Slice 40/155. Image size 240x240. Head.
FLAIR MR.
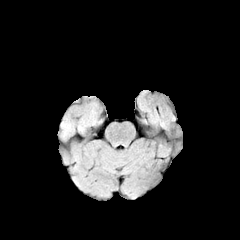
T1-weighted MR.
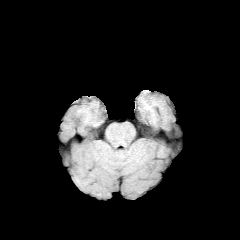
Post-contrast T1-weighted MRI.
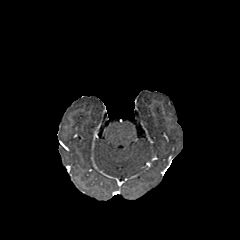
T2-weighted MRI.
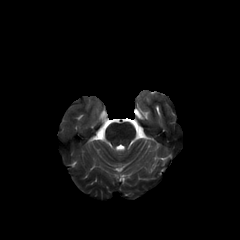
peritumoral edema: bounding box [62, 123, 68, 135]